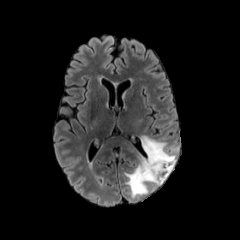
FLAIR MR.
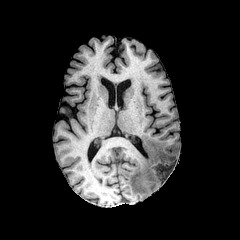
Same slice, T1-weighted magnetic resonance.
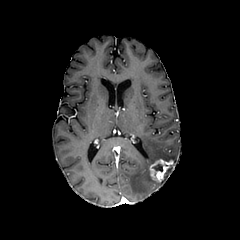
Post-contrast T1-weighted MRI of the same slice.
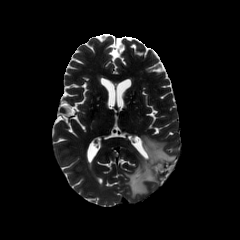
T2-weighted MR image.
Axial slice | Head | 240x240
The peritumoral edema is at rect(125, 135, 176, 197). The enhancing tumor is bounded by rect(149, 158, 174, 182). The necrotic tumor core is located at rect(152, 164, 162, 171).